240x240, Head, Axial slice
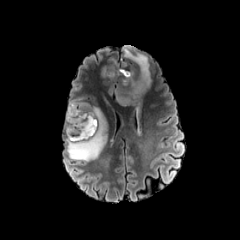
FLAIR MRI.
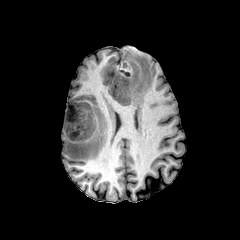
T1-weighted MRI.
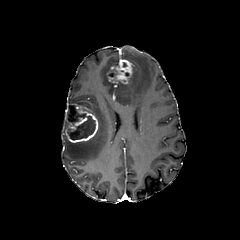
Post-contrast T1-weighted MR of the same slice.
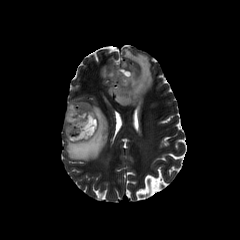
Same slice, T2-weighted MR.
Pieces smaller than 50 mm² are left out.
necrotic tumor core — <box>67,105,85,125</box>, <box>67,116,95,139</box>
enhancing tumor — <box>65,104,98,142</box>, <box>107,59,132,84</box>
peritumoral edema — <box>102,67,108,77</box>, <box>66,99,107,161</box>, <box>108,45,151,110</box>